FLAIR MRI.
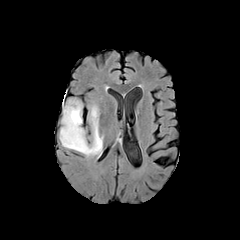
T1-weighted MR.
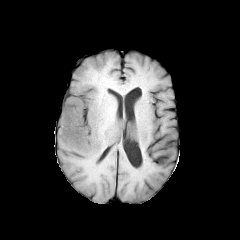
Post-contrast T1-weighted MR image.
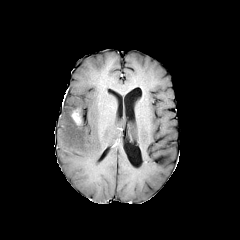
T2-weighted MR.
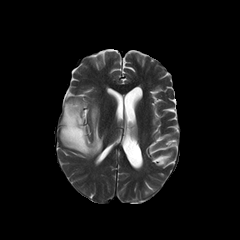
240x240, Head
* peritumoral edema: 59:99:103:157
* enhancing tumor: 71:109:81:125